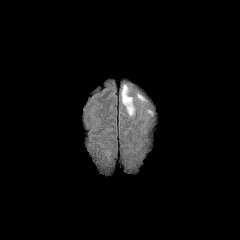
FLAIR magnetic resonance.
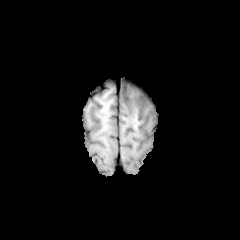
Same slice, T1-weighted magnetic resonance.
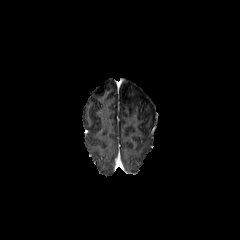
Post-contrast T1-weighted MR.
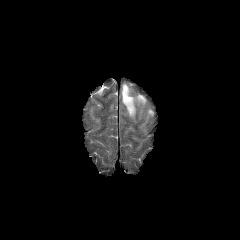
T2-weighted MR of the same slice.
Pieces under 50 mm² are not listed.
The largest peritumoral edema region lies within 121:84:135:116.